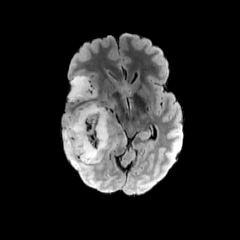
FLAIR MRI.
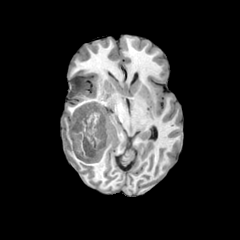
Same slice, T1-weighted magnetic resonance.
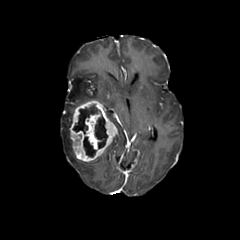
Post-contrast T1-weighted MR image of the same slice.
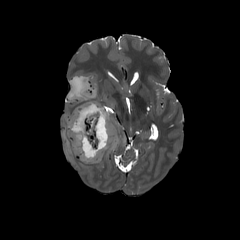
T2-weighted MRI.
Axial view.
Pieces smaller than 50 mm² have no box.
{
  "necrotic_tumor_core": [
    "region(83, 136, 96, 157)",
    "region(74, 105, 98, 133)",
    "region(95, 115, 107, 148)"
  ],
  "peritumoral_edema": [
    "region(63, 115, 102, 169)",
    "region(68, 76, 96, 100)"
  ],
  "enhancing_tumor": [
    "region(69, 100, 117, 161)"
  ]
}